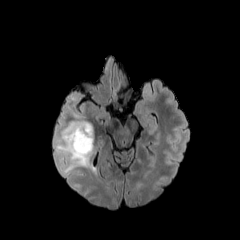
FLAIR MRI.
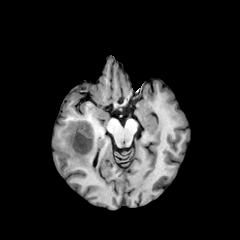
T1-weighted MRI.
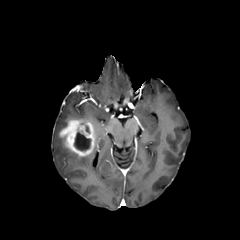
Post-contrast T1-weighted MR.
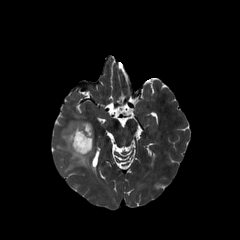
Same slice, T2-weighted MRI.
Head
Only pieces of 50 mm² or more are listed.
Findings:
* necrotic tumor core: 74:132:90:150
* enhancing tumor: 59:119:95:157
* peritumoral edema: 55:136:90:170